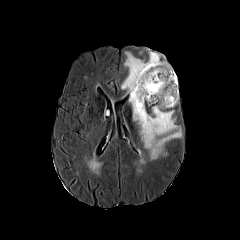
FLAIR MRI.
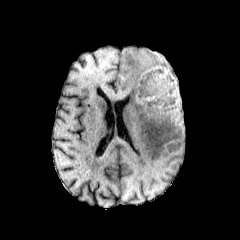
T1-weighted MR.
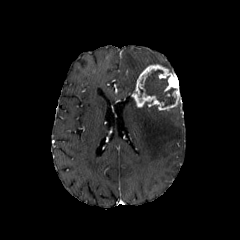
Post-contrast T1-weighted magnetic resonance.
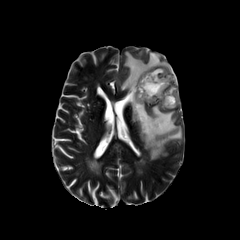
T2-weighted magnetic resonance.
240x240 px, Head
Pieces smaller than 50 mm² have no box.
Segmented structures:
* necrotic tumor core: <bbox>144, 70, 175, 106</bbox>
* peritumoral edema: <bbox>121, 51, 182, 159</bbox>
* enhancing tumor: <bbox>131, 64, 180, 110</bbox>